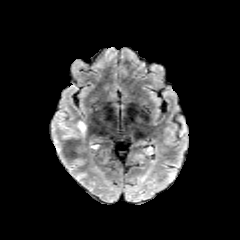
FLAIR MR image.
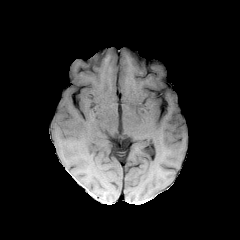
T1-weighted magnetic resonance.
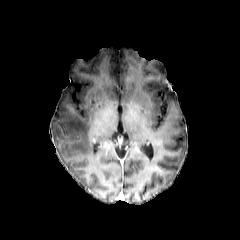
Post-contrast T1-weighted magnetic resonance.
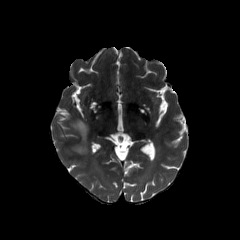
T2-weighted MR image of the same slice.
Head. 240x240 px.
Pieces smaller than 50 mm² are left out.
{"peritumoral_edema": ["x1=73 y1=121 x2=86 y2=138"]}